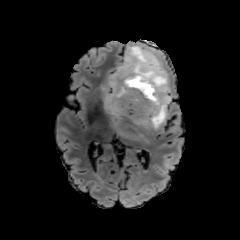
FLAIR MR.
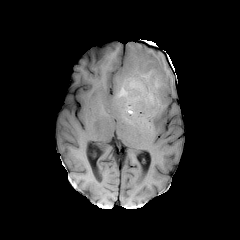
T1-weighted magnetic resonance of the same slice.
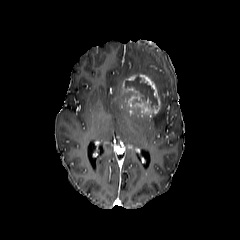
Same slice, post-contrast T1-weighted MR image.
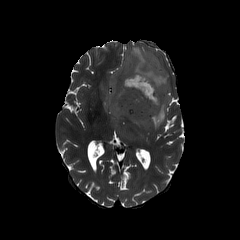
Same slice, T2-weighted MR.
240x240 px
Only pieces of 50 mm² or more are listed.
{
  "necrotic_tumor_core": [
    "[125,78,157,109]"
  ],
  "enhancing_tumor": [
    "[123,73,160,117]"
  ],
  "peritumoral_edema": [
    "[98,45,172,140]"
  ]
}